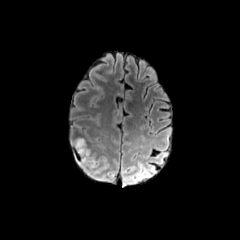
FLAIR MR.
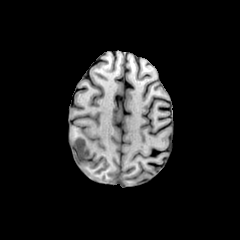
T1-weighted MR of the same slice.
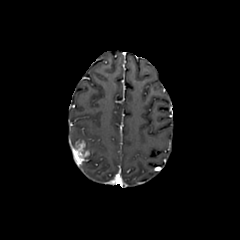
Post-contrast T1-weighted MR image.
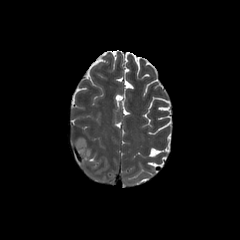
T2-weighted MR of the same slice.
Axial view | Head | 240x240 px
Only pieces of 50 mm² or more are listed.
{
  "peritumoral_edema": [
    "[81,144,93,165]"
  ],
  "enhancing_tumor": [
    "[72,140,89,165]"
  ]
}